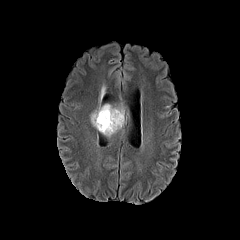
FLAIR MR image.
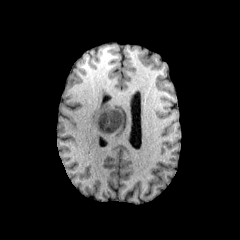
T1-weighted MR of the same slice.
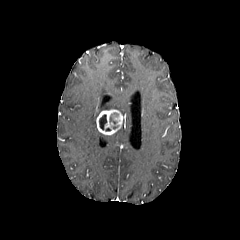
Post-contrast T1-weighted MR of the same slice.
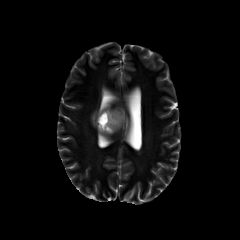
Same slice, T2-weighted MRI.
Head.
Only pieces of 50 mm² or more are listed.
enhancing tumor: (left=96, top=109, right=124, bottom=135) | peritumoral edema: (left=90, top=104, right=124, bottom=127) | necrotic tumor core: (left=99, top=114, right=106, bottom=129)